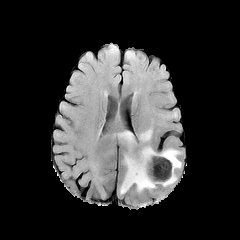
FLAIR MR image.
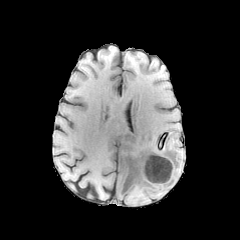
T1-weighted MRI of the same slice.
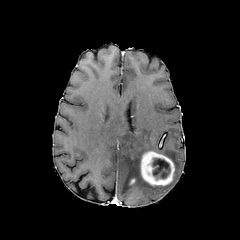
Post-contrast T1-weighted MRI of the same slice.
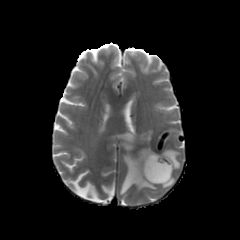
T2-weighted magnetic resonance.
240x240.
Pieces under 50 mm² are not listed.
<segmentation>
  <peritumoral_edema>[x1=158, y1=148, x2=181, y2=170], [x1=117, y1=131, x2=156, y2=194], [x1=139, y1=129, x2=152, y2=142], [x1=163, y1=172, x2=176, y2=187]</peritumoral_edema>
  <necrotic_tumor_core>[x1=152, y1=158, x2=170, y2=178]</necrotic_tumor_core>
  <enhancing_tumor>[x1=140, y1=151, x2=174, y2=185]</enhancing_tumor>
</segmentation>